Axial slice, 240x240, Brain, Slice 101/155
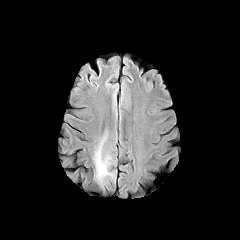
FLAIR MRI.
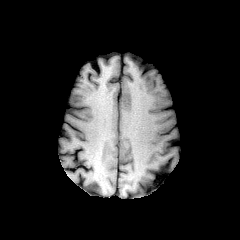
T1-weighted MRI.
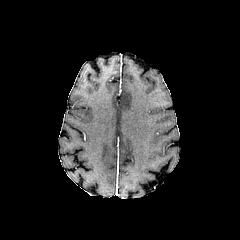
Post-contrast T1-weighted magnetic resonance of the same slice.
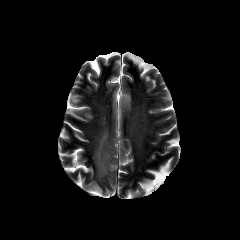
Same slice, T2-weighted MRI.
peritumoral_edema:
  - rect(94, 150, 110, 178)